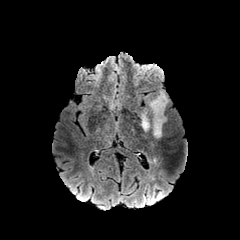
FLAIR MRI.
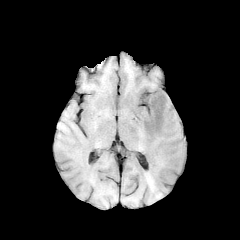
T1-weighted MR.
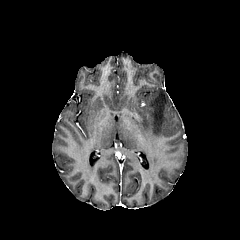
Post-contrast T1-weighted MR image.
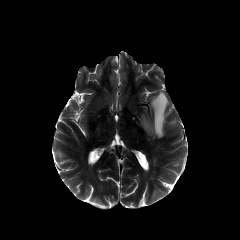
T2-weighted MR image of the same slice.
Brain, 240x240
peritumoral_edema:
  - x1=141, y1=91, x2=168, y2=137